FLAIR MR.
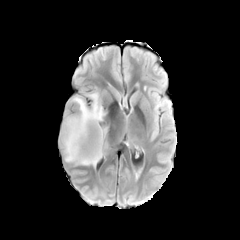
T1-weighted MR image.
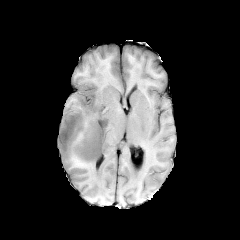
Post-contrast T1-weighted magnetic resonance.
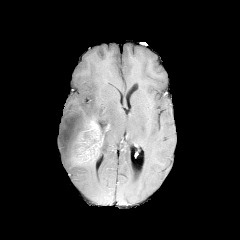
T2-weighted MRI.
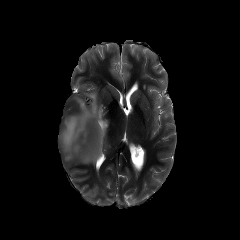
240x240 | Brain
peritumoral edema: [60, 92, 105, 165], [99, 125, 107, 158] | enhancing tumor: [75, 119, 104, 162]